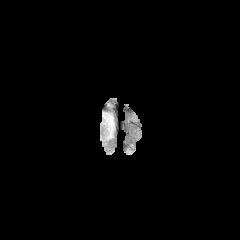
FLAIR MRI.
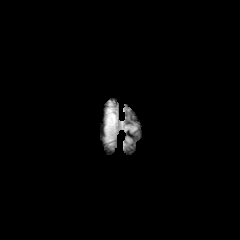
T1-weighted MR.
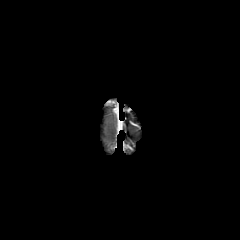
Post-contrast T1-weighted magnetic resonance.
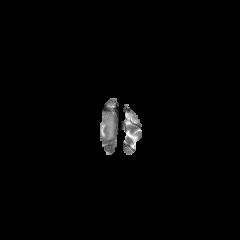
T2-weighted magnetic resonance.
Brain.
The peritumoral edema is bounded by bbox(106, 115, 114, 138).